FLAIR MRI.
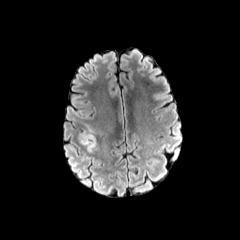
T1-weighted MR.
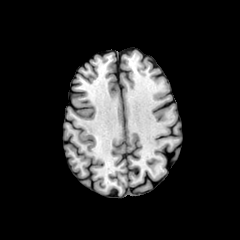
Post-contrast T1-weighted MRI.
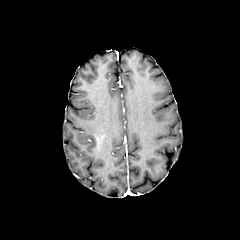
T2-weighted MR.
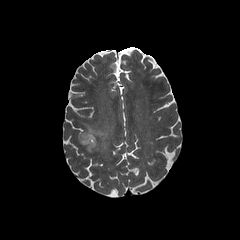
Axial slice. Image size 240x240.
The peritumoral edema lies within (80, 126, 96, 152).